FLAIR MR.
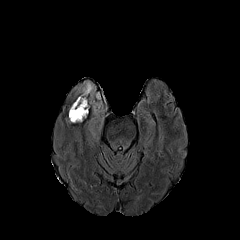
T1-weighted MRI.
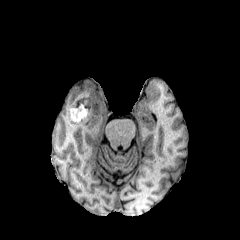
Post-contrast T1-weighted MRI.
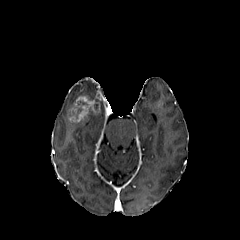
T2-weighted MRI.
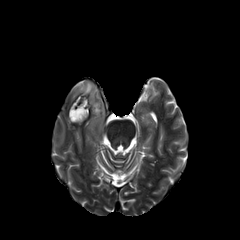
Brain
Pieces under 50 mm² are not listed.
peritumoral edema: {"x1": 74, "y1": 81, "x2": 104, "y2": 122}
enhancing tumor: {"x1": 69, "y1": 96, "x2": 100, "y2": 122}
necrotic tumor core: {"x1": 71, "y1": 101, "x2": 87, "y2": 119}